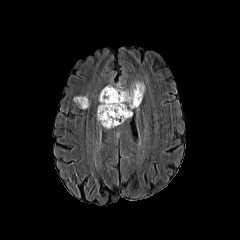
FLAIR magnetic resonance.
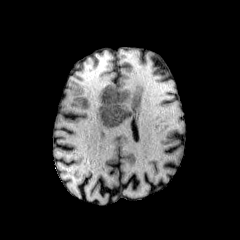
Same slice, T1-weighted magnetic resonance.
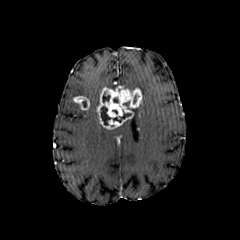
Post-contrast T1-weighted MR image.
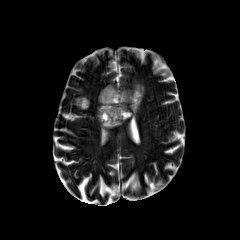
T2-weighted MRI of the same slice.
240x240 px
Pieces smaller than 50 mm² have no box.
peritumoral edema: bounding box <bbox>130, 81, 144, 94</bbox>
necrotic tumor core: bounding box <bbox>100, 106, 110, 125</bbox>, <bbox>102, 92, 110, 102</bbox>
enhancing tumor: bounding box <bbox>97, 86, 142, 129</bbox>, <bbox>73, 96, 89, 110</bbox>